FLAIR MRI.
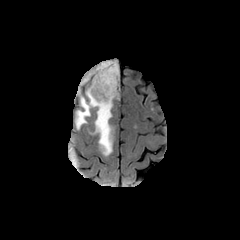
T1-weighted MR image.
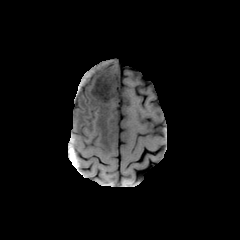
Post-contrast T1-weighted MR image.
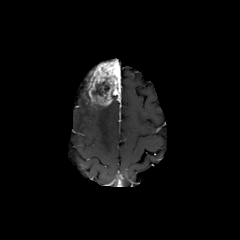
T2-weighted MRI.
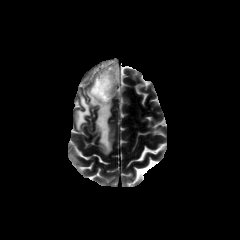
240x240
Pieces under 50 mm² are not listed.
necrotic tumor core at rect(93, 85, 102, 95)
enhancing tumor at rect(86, 59, 121, 107)
peritumoral edema at rect(74, 66, 114, 156)